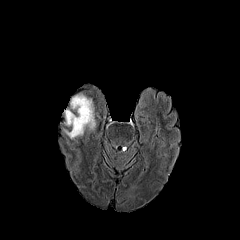
FLAIR magnetic resonance.
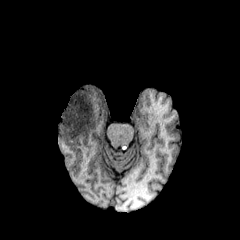
Same slice, T1-weighted magnetic resonance.
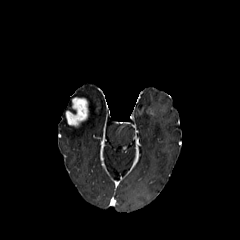
Post-contrast T1-weighted MRI.
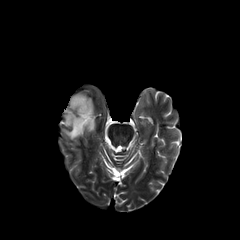
Same slice, T2-weighted magnetic resonance.
Axial plane
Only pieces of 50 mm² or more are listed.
* peritumoral edema: 62, 93, 95, 139
* enhancing tumor: 65, 97, 88, 127